FLAIR magnetic resonance.
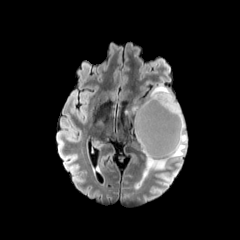
T1-weighted MRI.
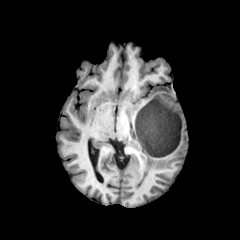
Post-contrast T1-weighted MRI.
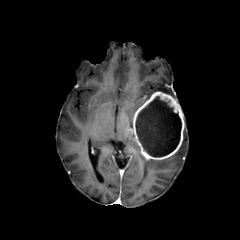
T2-weighted MRI.
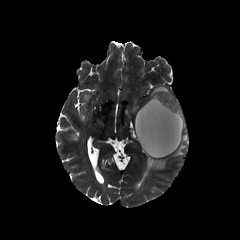
Image size 240x240, Axial view
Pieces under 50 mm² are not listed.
peritumoral edema: left=144, top=84, right=174, bottom=102; left=146, top=122, right=187, bottom=173
enhancing tumor: left=133, top=91, right=184, bottom=160
necrotic tumor core: left=135, top=96, right=181, bottom=157